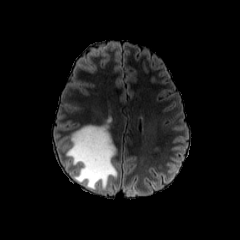
FLAIR MRI.
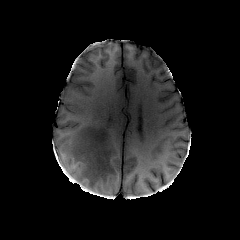
T1-weighted MR image.
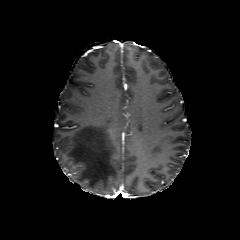
Post-contrast T1-weighted MR image.
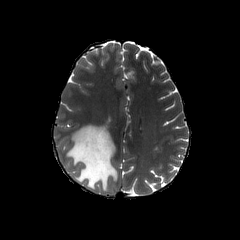
T2-weighted MR of the same slice.
240x240 | Head
peritumoral_edema:
  - rect(66, 119, 117, 190)